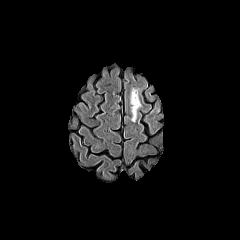
FLAIR MR.
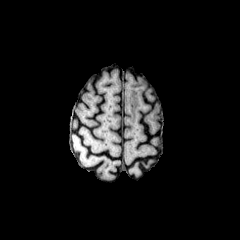
T1-weighted MR image.
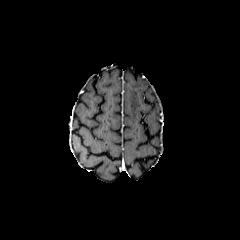
Post-contrast T1-weighted MR of the same slice.
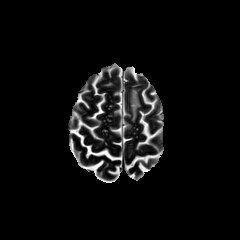
T2-weighted MRI.
240x240 px, Brain, Axial plane
peritumoral edema: bounding box 130, 88, 141, 121